Brain, Axial view
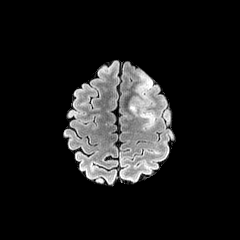
FLAIR MRI.
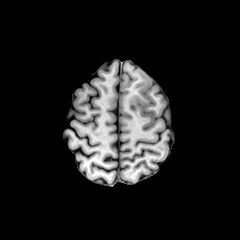
T1-weighted MR image of the same slice.
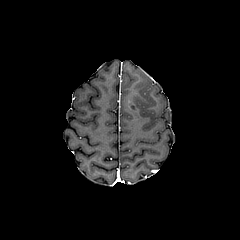
Post-contrast T1-weighted magnetic resonance.
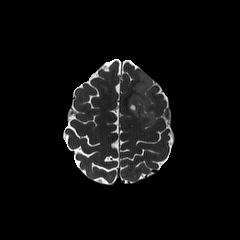
T2-weighted MR image.
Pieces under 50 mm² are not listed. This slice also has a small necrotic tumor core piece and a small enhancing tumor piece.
* peritumoral edema: <box>129,74,155,127</box>